Brain, Image width 240 mm, 1.00 mm slice spacing
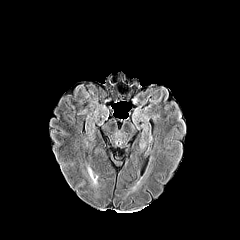
FLAIR MRI.
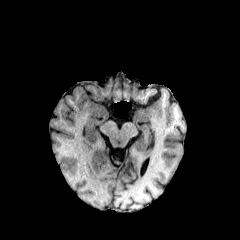
T1-weighted magnetic resonance.
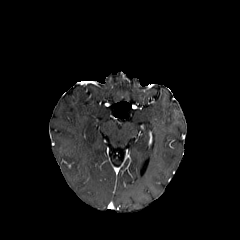
Post-contrast T1-weighted MRI.
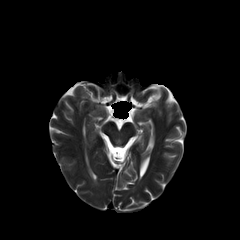
T2-weighted MR image.
{"peritumoral_edema": ["[88, 168, 97, 182]"]}